Brain. 240x240. Image width 240 mm.
FLAIR MRI.
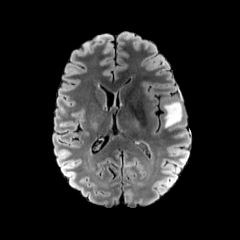
T1-weighted MRI.
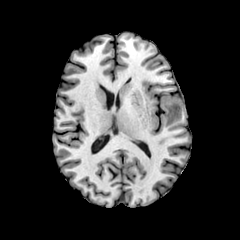
Post-contrast T1-weighted MR image.
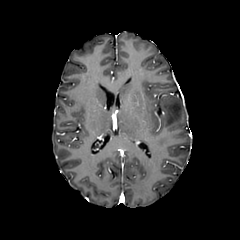
T2-weighted magnetic resonance.
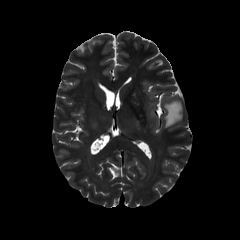
Annotated regions:
* peritumoral edema: region(164, 100, 181, 127)